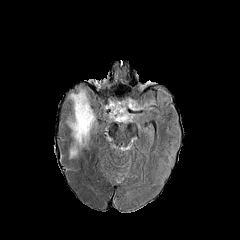
FLAIR magnetic resonance.
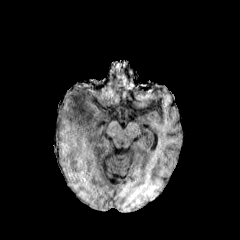
T1-weighted MR.
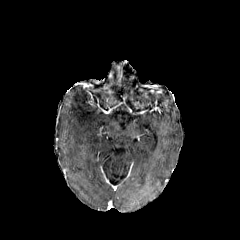
Post-contrast T1-weighted MRI.
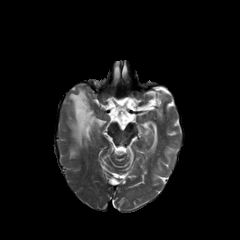
T2-weighted MR image.
Brain
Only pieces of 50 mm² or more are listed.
The largest peritumoral edema region is bounded by rect(70, 89, 95, 144).